FLAIR magnetic resonance.
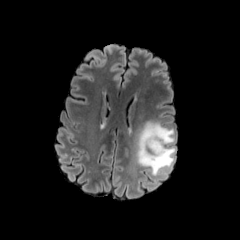
T1-weighted MRI.
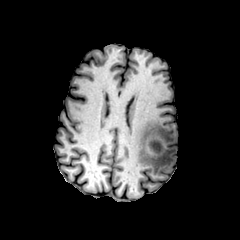
Post-contrast T1-weighted MR image.
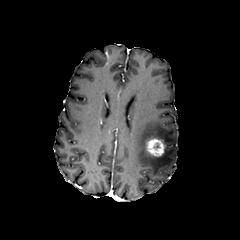
T2-weighted magnetic resonance.
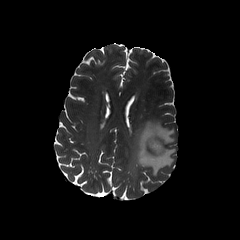
Axial plane. Head.
The enhancing tumor lies within <bbox>146, 138, 164, 156</bbox>. The peritumoral edema is at <bbox>136, 120, 176, 175</bbox>.